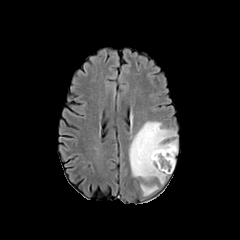
FLAIR MR image.
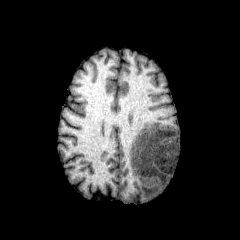
T1-weighted magnetic resonance.
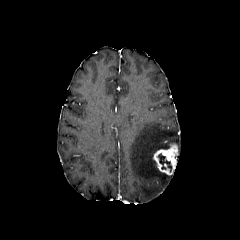
Post-contrast T1-weighted MR image of the same slice.
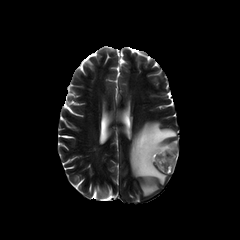
Same slice, T2-weighted MR.
Head | Image size 240x240
The necrotic tumor core lies within left=158, top=154, right=171, bottom=171. 2 peritumoral edema regions are bounded by left=129, top=121, right=177, bottom=184; left=140, top=184, right=158, bottom=196. The enhancing tumor appears at left=153, top=143, right=177, bottom=174.